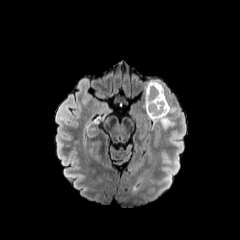
FLAIR MR.
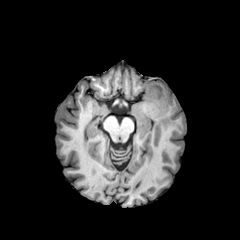
T1-weighted magnetic resonance.
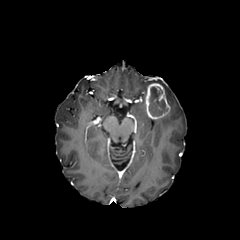
Post-contrast T1-weighted MR of the same slice.
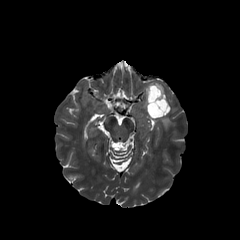
T2-weighted magnetic resonance.
Brain, Axial slice
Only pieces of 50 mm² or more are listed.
The 2 largest peritumoral edema regions are located at (left=153, top=115, right=173, bottom=127), (left=143, top=80, right=165, bottom=109). The largest necrotic tumor core region is at (left=149, top=86, right=167, bottom=116). The largest enhancing tumor region appears at (left=145, top=83, right=170, bottom=119).